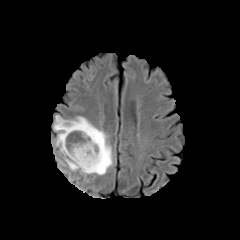
FLAIR MRI.
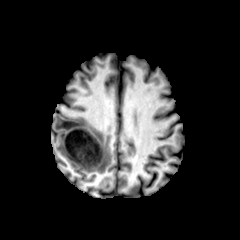
T1-weighted magnetic resonance of the same slice.
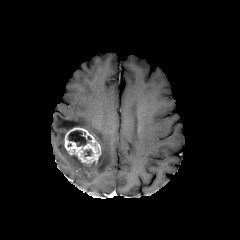
Post-contrast T1-weighted magnetic resonance.
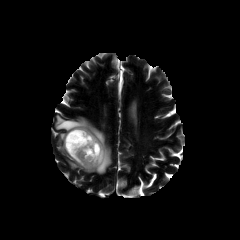
Same slice, T2-weighted MR image.
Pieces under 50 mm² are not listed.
• peritumoral edema: bbox(54, 115, 112, 174)
• necrotic tumor core: bbox(68, 130, 87, 146)
• enhancing tumor: bbox(64, 127, 102, 165)